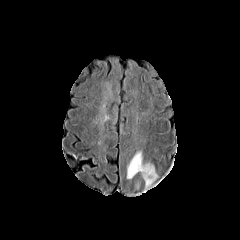
FLAIR MRI.
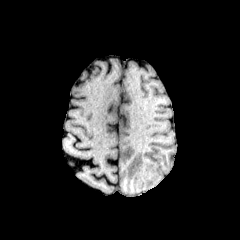
T1-weighted magnetic resonance.
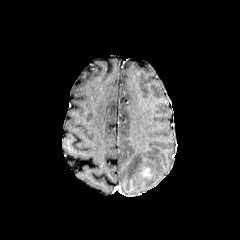
Post-contrast T1-weighted MR of the same slice.
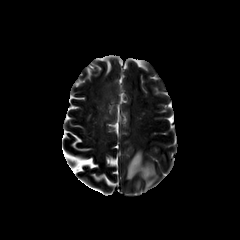
Same slice, T2-weighted MRI.
{"enhancing_tumor": ["(142,167,151,177)"], "peritumoral_edema": ["(127,151,157,190)"]}